Brain. Slice index 98.
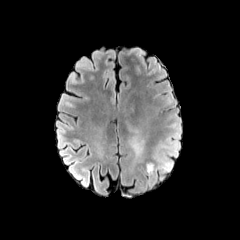
FLAIR MRI.
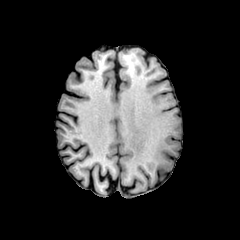
Same slice, T1-weighted MR image.
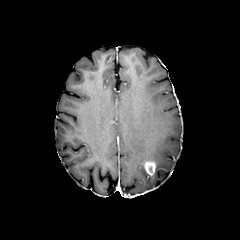
Post-contrast T1-weighted magnetic resonance.
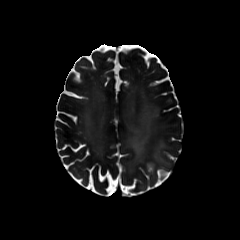
Same slice, T2-weighted MRI.
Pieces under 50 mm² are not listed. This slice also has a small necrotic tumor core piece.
<segmentation>
  <enhancing_tumor>(145, 161, 155, 175)</enhancing_tumor>
  <peritumoral_edema>(153, 153, 162, 162), (129, 136, 145, 161)</peritumoral_edema>
</segmentation>